Brain
FLAIR MR image.
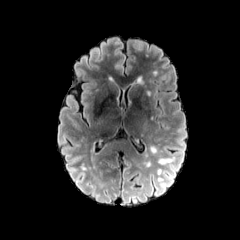
T1-weighted MRI.
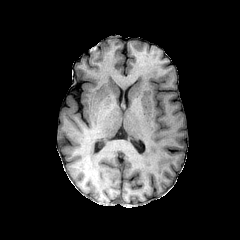
Post-contrast T1-weighted MRI.
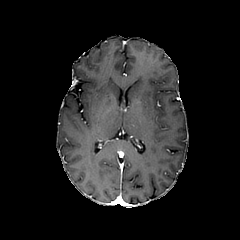
T2-weighted MR image.
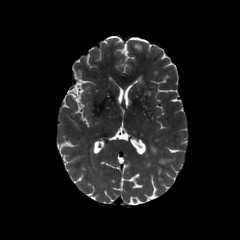
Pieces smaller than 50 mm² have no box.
Annotated regions:
• peritumoral edema: [159, 158, 173, 164]